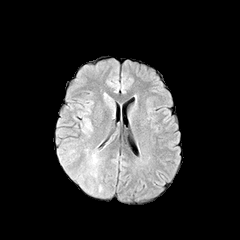
FLAIR MR.
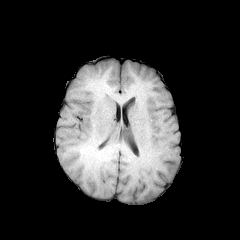
Same slice, T1-weighted MRI.
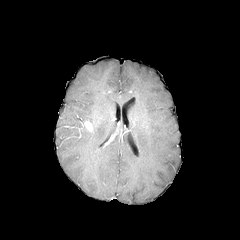
Post-contrast T1-weighted magnetic resonance.
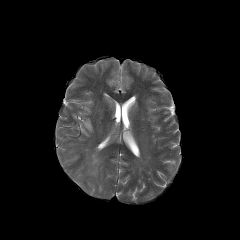
T2-weighted MR image of the same slice.
Axial view; 240x240 px
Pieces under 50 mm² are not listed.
The 2 largest peritumoral edema regions are bounded by (x1=87, y1=154, x2=97, y2=176), (x1=80, y1=117, x2=90, y2=134). The enhancing tumor is at (x1=84, y1=121, x2=92, y2=131).